Head
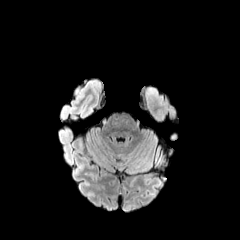
FLAIR magnetic resonance.
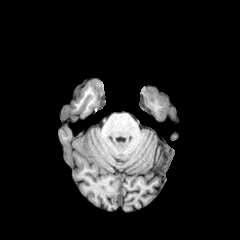
T1-weighted magnetic resonance of the same slice.
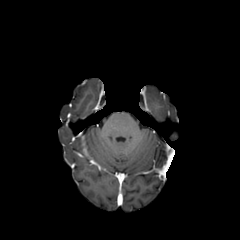
Post-contrast T1-weighted MRI.
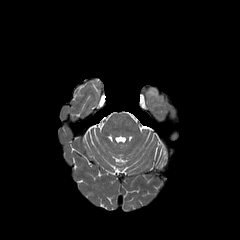
T2-weighted magnetic resonance.
The peritumoral edema is at [x1=146, y1=86, x2=157, y2=94].